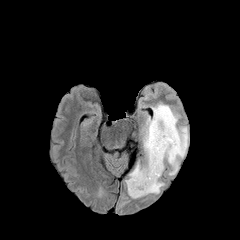
FLAIR MR.
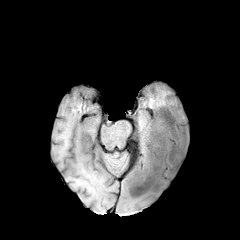
T1-weighted MR image of the same slice.
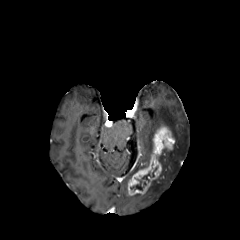
Same slice, post-contrast T1-weighted MRI.
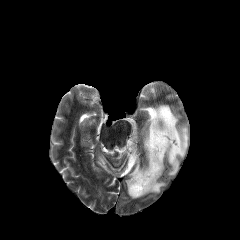
Same slice, T2-weighted MR.
Brain
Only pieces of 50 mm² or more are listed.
enhancing tumor at (left=127, top=125, right=175, bottom=195)
necrotic tumor core at (left=131, top=181, right=142, bottom=190)
peritumoral edema at (left=125, top=103, right=188, bottom=198)